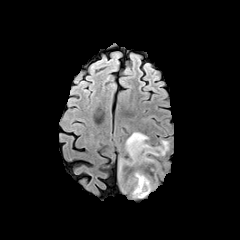
FLAIR MR.
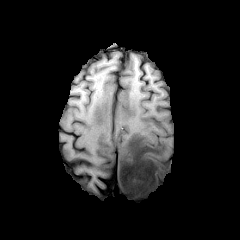
Same slice, T1-weighted MR image.
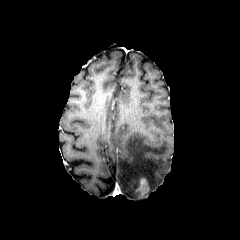
Same slice, post-contrast T1-weighted MRI.
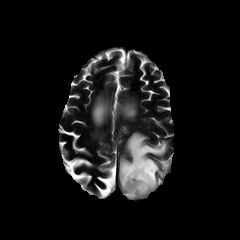
T2-weighted magnetic resonance.
Head. 240x240 px.
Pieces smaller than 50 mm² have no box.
peritumoral edema — rect(118, 132, 168, 198)
enhancing tumor — rect(136, 177, 149, 196)